Head
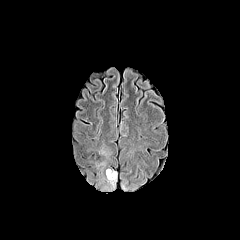
FLAIR magnetic resonance.
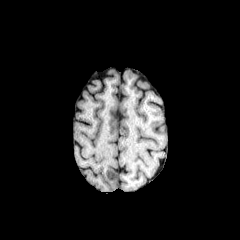
Same slice, T1-weighted MR image.
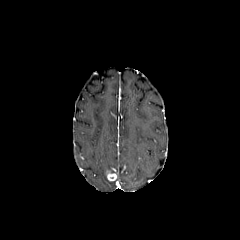
Post-contrast T1-weighted magnetic resonance of the same slice.
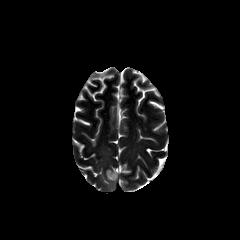
T2-weighted MR.
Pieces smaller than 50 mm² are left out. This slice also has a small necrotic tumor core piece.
<segmentation>
  <enhancing_tumor>box(106, 170, 116, 181)</enhancing_tumor>
  <peritumoral_edema>box(86, 140, 112, 166)</peritumoral_edema>
</segmentation>